Slice index 92. 240x240. Image width 240 mm, 1.00 mm slice spacing. Head.
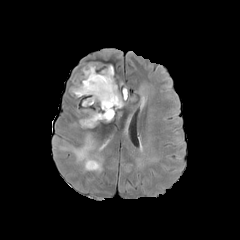
FLAIR MR image.
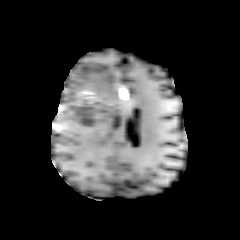
T1-weighted MR image of the same slice.
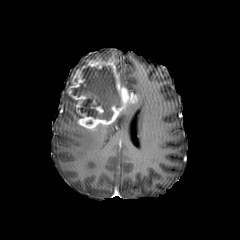
Post-contrast T1-weighted MR.
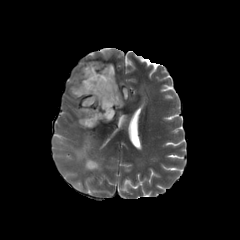
T2-weighted MR of the same slice.
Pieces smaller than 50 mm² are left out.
enhancing tumor at x1=91, y1=106, x2=103, y2=113; x1=67, y1=61, x2=136, y2=129
peritumoral edema at x1=59, y1=133, x2=102, y2=171
necrotic tumor core at x1=72, y1=65, x2=120, y2=120; x1=87, y1=159, x2=96, y2=165